Slice index 120. Axial view. Head.
FLAIR MR image.
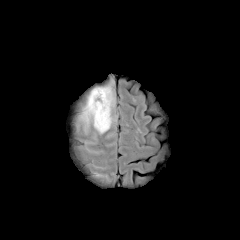
T1-weighted MRI.
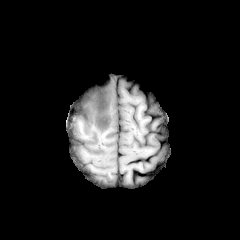
Post-contrast T1-weighted magnetic resonance.
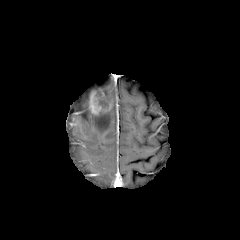
T2-weighted MR image.
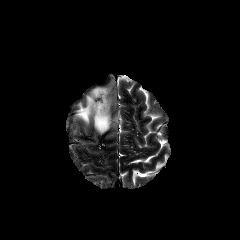
The enhancing tumor is bounded by box=[89, 89, 111, 114]. The peritumoral edema is bounded by box=[67, 78, 116, 134].